FLAIR MR image.
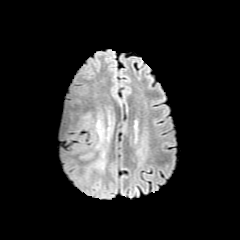
T1-weighted MRI.
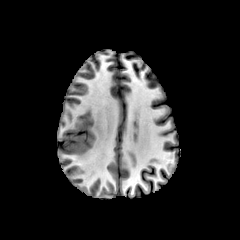
Post-contrast T1-weighted magnetic resonance.
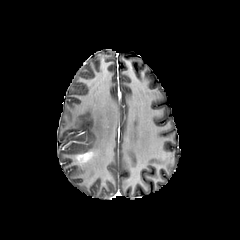
T2-weighted MR.
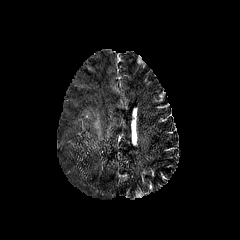
The enhancing tumor is at <box>77,152,92,162</box>. The peritumoral edema appears at <box>90,115,114,173</box>.